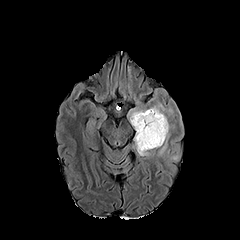
FLAIR MRI.
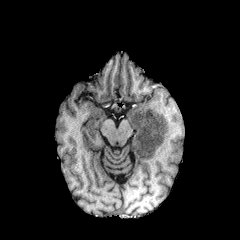
Same slice, T1-weighted MRI.
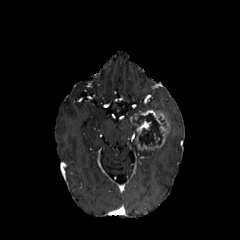
Same slice, post-contrast T1-weighted MR.
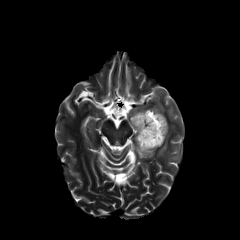
T2-weighted MR image.
Axial plane. Brain.
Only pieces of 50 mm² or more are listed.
necrotic_tumor_core:
  - bbox=[133, 113, 162, 146]
peritumoral_edema:
  - bbox=[158, 134, 169, 155]
  - bbox=[134, 145, 148, 155]
  - bbox=[151, 104, 163, 111]
enhancing_tumor:
  - bbox=[130, 110, 169, 150]